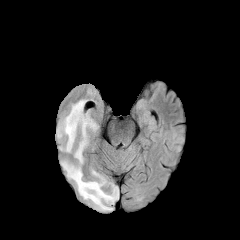
FLAIR magnetic resonance.
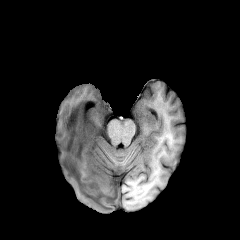
T1-weighted MR image of the same slice.
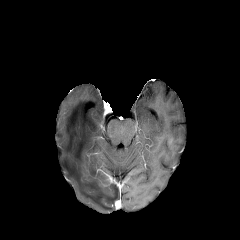
Same slice, post-contrast T1-weighted MR image.
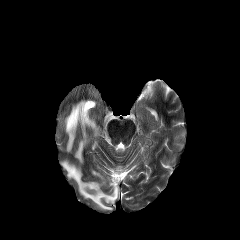
T2-weighted MRI of the same slice.
peritumoral_edema:
  - (57,99,118,210)
enhancing_tumor:
  - (103,172,115,183)